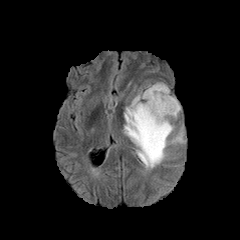
FLAIR MRI.
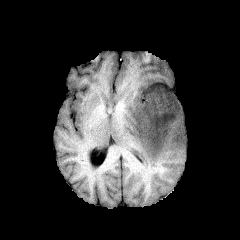
T1-weighted MRI.
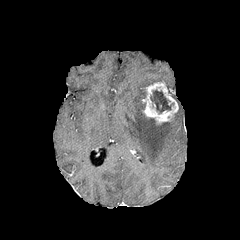
Post-contrast T1-weighted MRI of the same slice.
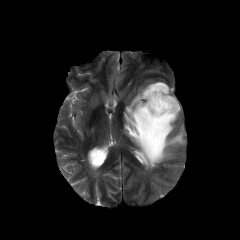
Same slice, T2-weighted MR image.
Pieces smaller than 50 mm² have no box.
peritumoral edema — 123 91 184 168
necrotic tumor core — 150 90 173 112
enhancing tumor — 142 82 178 124